Image width 240 mm, 1.00 mm slice spacing.
FLAIR MR image.
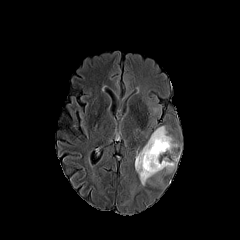
T1-weighted MRI.
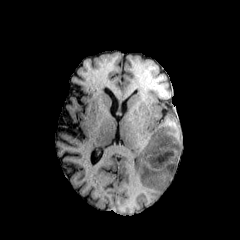
Post-contrast T1-weighted MRI.
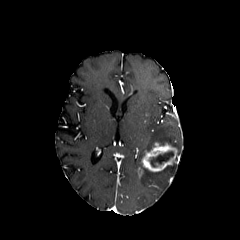
T2-weighted magnetic resonance.
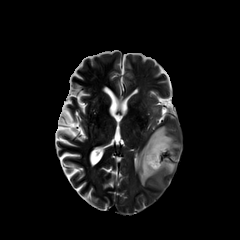
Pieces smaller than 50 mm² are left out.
The largest enhancing tumor region is located at x1=141, y1=142, x2=179, y2=172. The necrotic tumor core is bounded by x1=150, y1=151, x2=173, y2=166. The peritumoral edema is bounded by x1=135, y1=126, x2=178, y2=185.